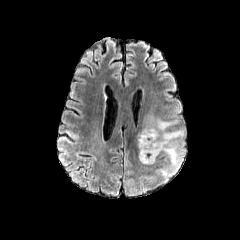
FLAIR magnetic resonance.
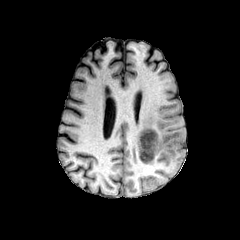
T1-weighted MRI.
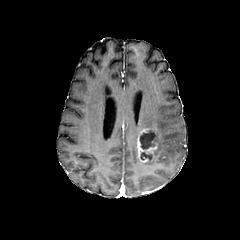
Same slice, post-contrast T1-weighted MR image.
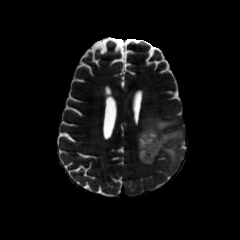
T2-weighted MRI.
Axial plane
peritumoral edema: box=[142, 113, 185, 174] | enhancing tumor: box=[136, 127, 160, 162] | necrotic tumor core: box=[140, 130, 156, 149]; box=[140, 152, 152, 160]